FLAIR MR image.
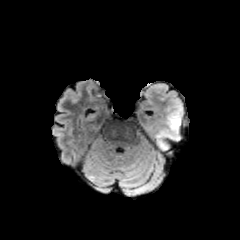
T1-weighted MR image.
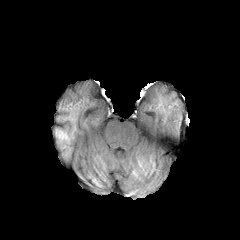
Post-contrast T1-weighted MR image.
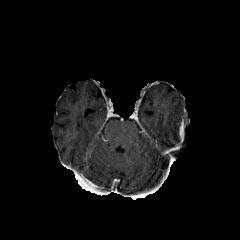
T2-weighted MR image.
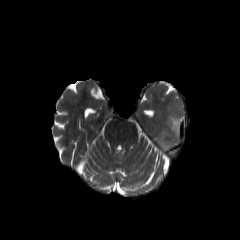
240x240 px; Brain
peritumoral edema = (167, 114, 180, 137), (160, 130, 170, 138), (159, 140, 168, 148)